FLAIR MRI.
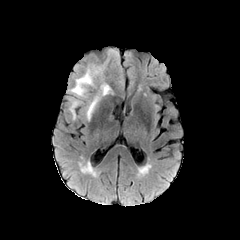
T1-weighted MR image.
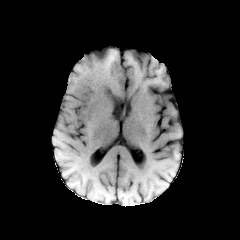
Post-contrast T1-weighted MR image.
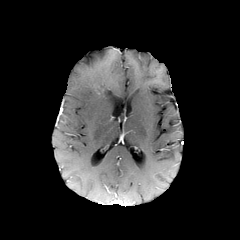
T2-weighted MRI.
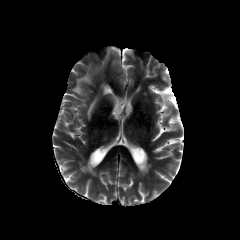
Image size 240x240.
peritumoral edema: bbox(100, 83, 110, 95); bbox(71, 68, 100, 96); bbox(86, 96, 99, 120); bbox(70, 101, 78, 118)